Image width 240 mm, 1.00 mm slice spacing. 240x240.
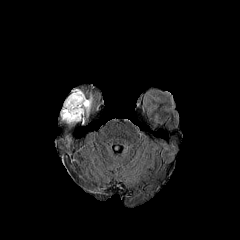
FLAIR magnetic resonance.
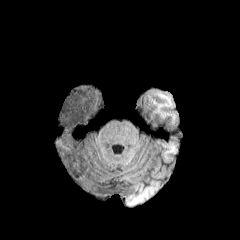
Same slice, T1-weighted magnetic resonance.
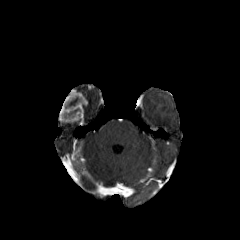
Same slice, post-contrast T1-weighted magnetic resonance.
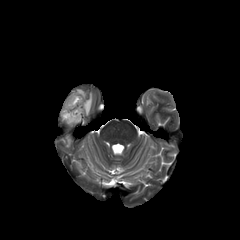
T2-weighted magnetic resonance of the same slice.
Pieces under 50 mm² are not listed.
The enhancing tumor is located at 58:89:88:124. The largest peritumoral edema region lies within 85:94:92:116. The largest necrotic tumor core region is located at 69:97:79:106.